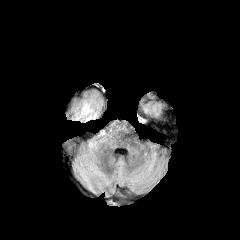
FLAIR MR image.
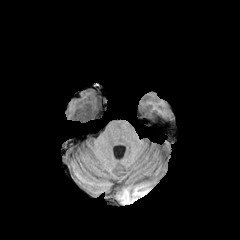
T1-weighted MR image.
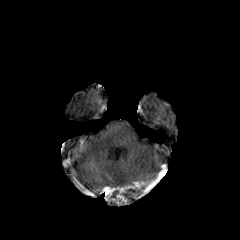
Post-contrast T1-weighted magnetic resonance.
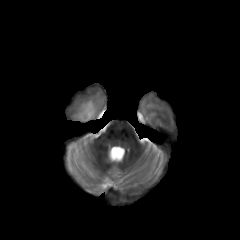
Same slice, T2-weighted MR image.
Head
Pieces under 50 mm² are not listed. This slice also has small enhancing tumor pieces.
The largest peritumoral edema region is bounded by left=73, top=94, right=99, bottom=119. The necrotic tumor core is bounded by left=76, top=112, right=94, bottom=122.